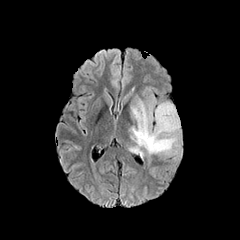
FLAIR MR.
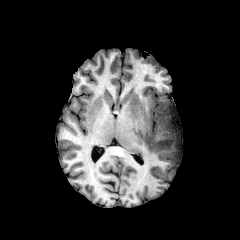
T1-weighted MRI.
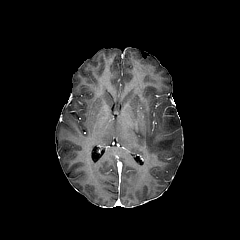
Same slice, post-contrast T1-weighted MR.
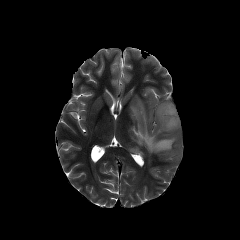
T2-weighted MR.
peritumoral edema at 129:99:180:156